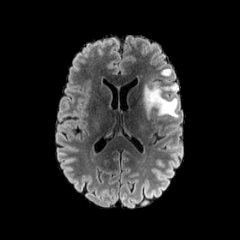
FLAIR MRI.
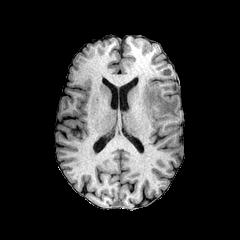
T1-weighted MRI of the same slice.
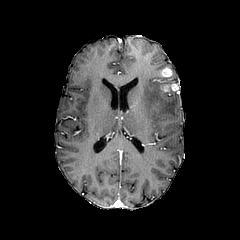
Post-contrast T1-weighted MR image.
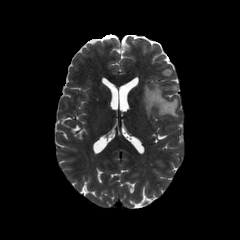
T2-weighted MR.
Brain.
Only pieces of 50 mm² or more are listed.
<segmentation>
  <peritumoral_edema>[x1=141, y1=83, x2=178, y2=120]</peritumoral_edema>
  <enhancing_tumor>[x1=162, y1=83, x2=178, y2=91], [x1=160, y1=67, x2=171, y2=77]</enhancing_tumor>
</segmentation>